Image width 240 mm; Slice 58 of 155; Axial view
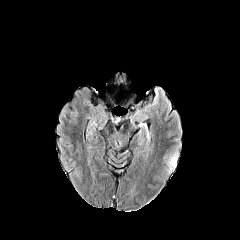
FLAIR MRI.
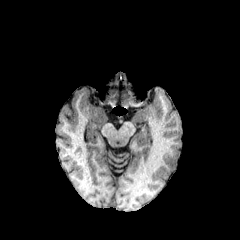
T1-weighted magnetic resonance of the same slice.
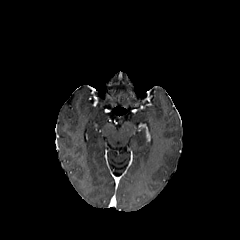
Post-contrast T1-weighted MRI.
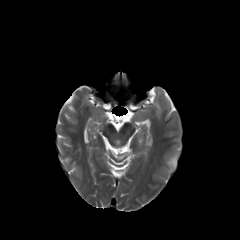
T2-weighted magnetic resonance.
- peritumoral edema: (x1=167, y1=154, x2=177, y2=172)